Image width 240 mm. Axial plane.
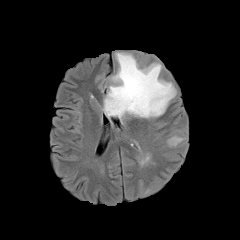
FLAIR MRI.
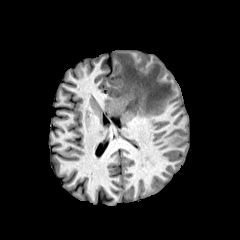
T1-weighted MR image.
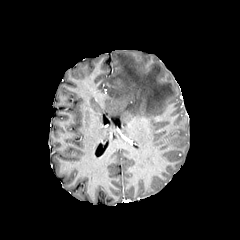
Post-contrast T1-weighted magnetic resonance of the same slice.
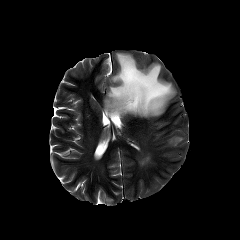
T2-weighted MR image of the same slice.
2 peritumoral edema regions are bounded by rect(167, 135, 186, 149); rect(103, 53, 176, 118).